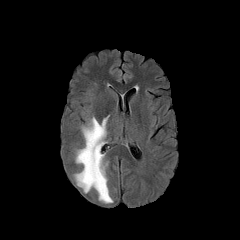
FLAIR MRI.
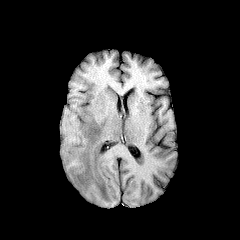
Same slice, T1-weighted MRI.
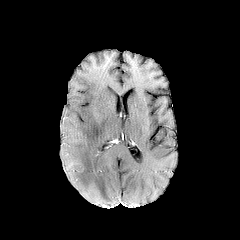
Post-contrast T1-weighted magnetic resonance of the same slice.
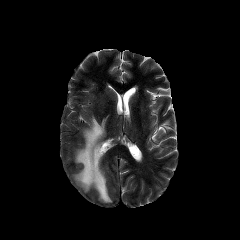
T2-weighted MR image of the same slice.
• peritumoral edema: [74,116,112,203]